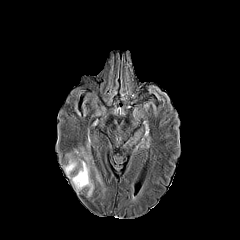
FLAIR MRI.
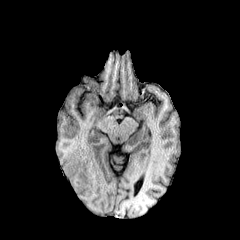
T1-weighted MRI of the same slice.
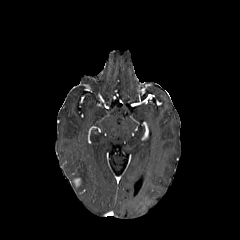
Post-contrast T1-weighted magnetic resonance of the same slice.
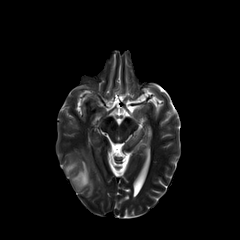
T2-weighted MR image.
Axial plane. Head.
Findings:
- enhancing tumor: rect(73, 178, 80, 186)
- peritumoral edema: rect(64, 153, 93, 197); rect(95, 169, 102, 184); rect(74, 149, 90, 161)